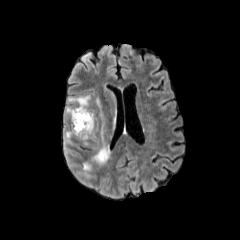
FLAIR MR.
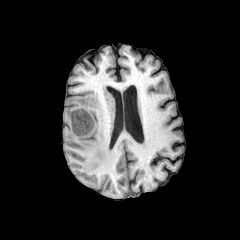
Same slice, T1-weighted magnetic resonance.
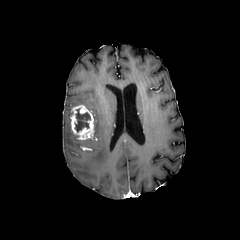
Post-contrast T1-weighted MRI.
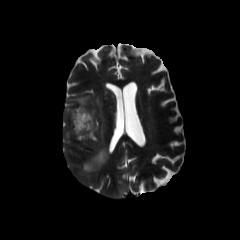
T2-weighted MRI of the same slice.
240x240 | Head
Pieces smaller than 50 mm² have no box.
The necrotic tumor core is bounded by <bbox>74, 108, 90, 131</bbox>. The enhancing tumor appears at <bbox>70, 105, 97, 143</bbox>. The 7 largest peritumoral edema regions are located at <bbox>109, 110, 117, 140</bbox>, <bbox>81, 95, 110, 169</bbox>, <bbox>64, 129, 73, 151</bbox>, <bbox>68, 95, 90, 108</bbox>, <bbox>92, 112, 98, 135</bbox>, <bbox>103, 83, 113, 97</bbox>, <bbox>65, 106, 72, 117</bbox>.